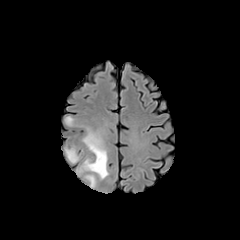
FLAIR MRI.
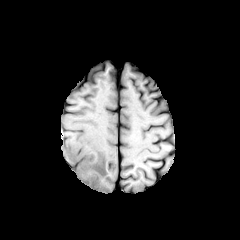
T1-weighted magnetic resonance.
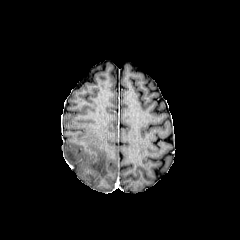
Post-contrast T1-weighted MRI.
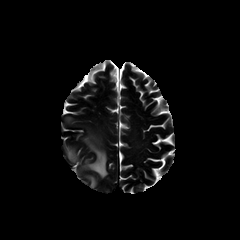
T2-weighted MR image.
Head | Axial view
peritumoral_edema:
  - 65:147:78:162
  - 65:116:73:125
  - 76:131:108:179
  - 85:175:96:188